FLAIR MRI.
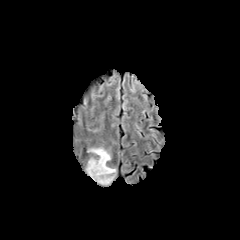
T1-weighted MRI.
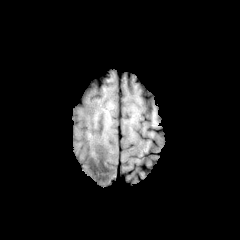
Post-contrast T1-weighted MR.
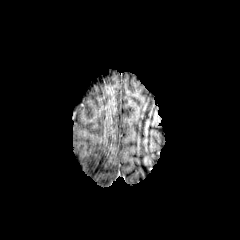
T2-weighted magnetic resonance.
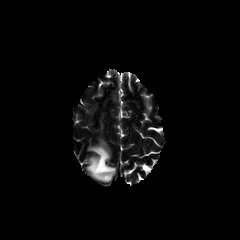
Image size 240x240
Segmented structures:
• peritumoral edema: 86:147:115:184